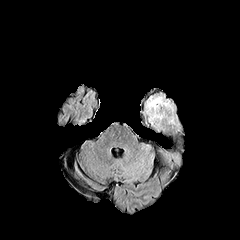
FLAIR MRI.
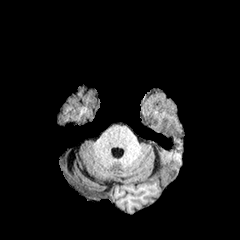
T1-weighted MR.
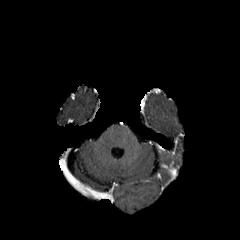
Post-contrast T1-weighted MR image of the same slice.
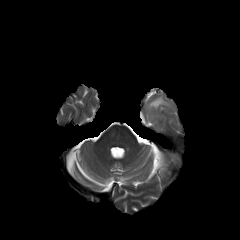
T2-weighted magnetic resonance of the same slice.
Axial plane | Image size 240x240
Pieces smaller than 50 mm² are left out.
The largest peritumoral edema region is bounded by bbox=[146, 96, 171, 119].